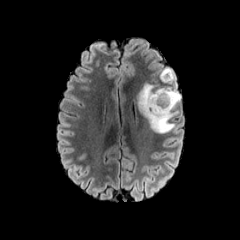
FLAIR magnetic resonance.
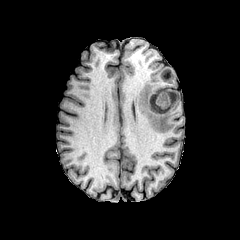
T1-weighted MR.
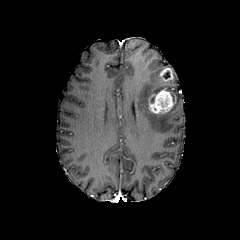
Post-contrast T1-weighted magnetic resonance.
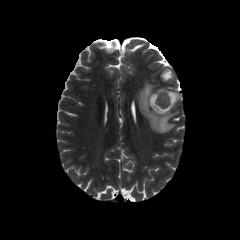
T2-weighted magnetic resonance of the same slice.
Image size 240x240; Head
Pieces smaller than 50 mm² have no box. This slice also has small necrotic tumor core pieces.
Findings:
- enhancing tumor: 145, 89, 176, 115; 160, 67, 173, 81
- peritumoral edema: 135, 71, 181, 133